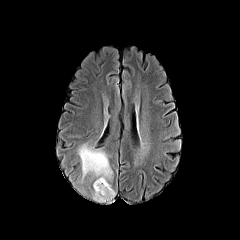
FLAIR magnetic resonance.
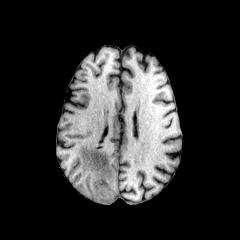
T1-weighted MRI.
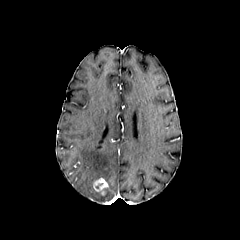
Same slice, post-contrast T1-weighted MRI.
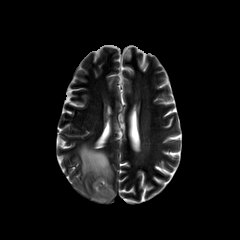
T2-weighted MR.
Brain, Axial plane
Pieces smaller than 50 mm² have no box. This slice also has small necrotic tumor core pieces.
{"peritumoral_edema": ["78:144:115:202"], "enhancing_tumor": ["93:178:108:195"]}